FLAIR magnetic resonance.
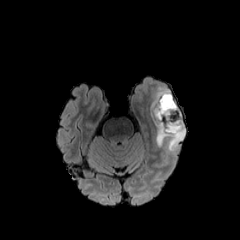
T1-weighted magnetic resonance.
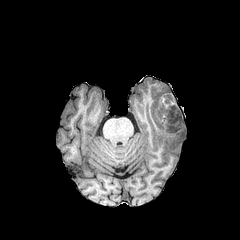
Post-contrast T1-weighted MR.
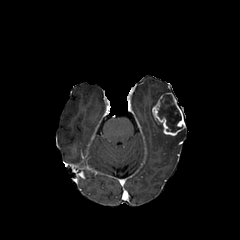
T2-weighted MRI.
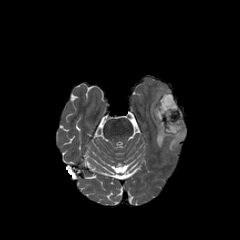
Head.
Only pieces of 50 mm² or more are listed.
{"necrotic_tumor_core": ["l=158, t=94, r=181, b=132"], "enhancing_tumor": ["l=152, t=92, r=185, b=135"], "peritumoral_edema": ["l=151, t=89, r=185, b=151"]}